Image width 240 mm. Slice 86/155.
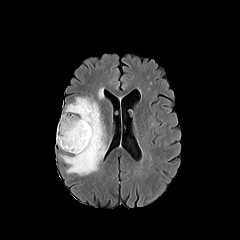
FLAIR MRI.
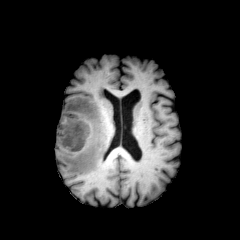
T1-weighted MRI.
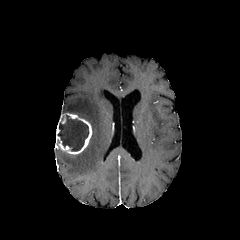
Post-contrast T1-weighted MR of the same slice.
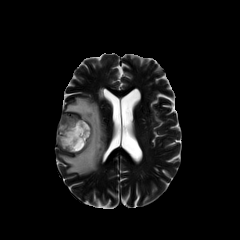
T2-weighted magnetic resonance.
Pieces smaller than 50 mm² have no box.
{
  "necrotic_tumor_core": [
    "<bbox>58, 115, 88, 151</bbox>"
  ],
  "peritumoral_edema": [
    "<bbox>59, 97, 107, 175</bbox>"
  ],
  "enhancing_tumor": [
    "<bbox>56, 113, 92, 154</bbox>"
  ]
}